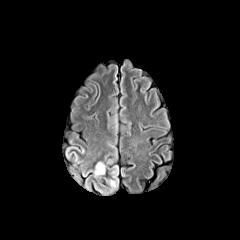
FLAIR magnetic resonance.
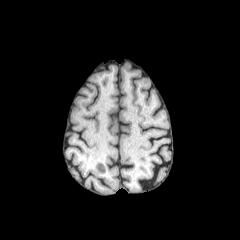
Same slice, T1-weighted MRI.
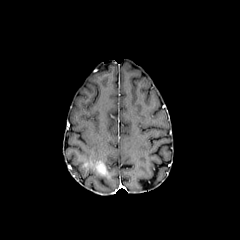
Same slice, post-contrast T1-weighted MRI.
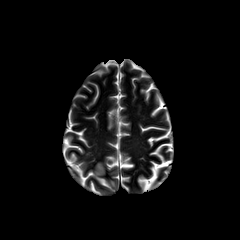
Same slice, T2-weighted magnetic resonance.
Head.
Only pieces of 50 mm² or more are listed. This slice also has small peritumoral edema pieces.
enhancing_tumor:
  - left=96, top=162, right=106, bottom=175